Slice 67 of 155; Brain
FLAIR MRI.
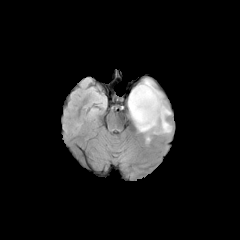
T1-weighted magnetic resonance.
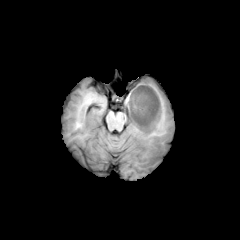
Post-contrast T1-weighted MR.
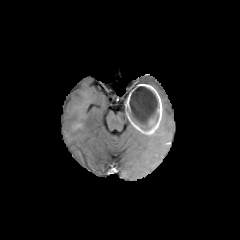
T2-weighted magnetic resonance.
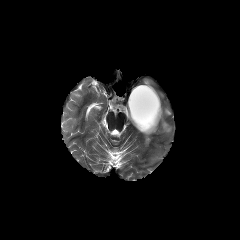
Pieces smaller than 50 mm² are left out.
peritumoral edema — 142, 79, 153, 86; 153, 89, 171, 133
necrotic tumor core — 129, 86, 158, 130
enhancing tumor — 126, 84, 162, 134